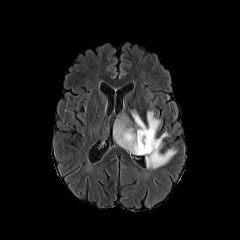
FLAIR MRI.
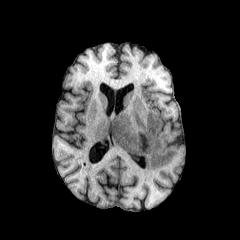
T1-weighted MR image of the same slice.
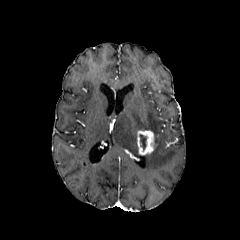
Same slice, post-contrast T1-weighted MR image.
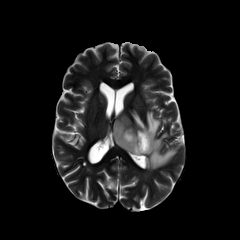
Same slice, T2-weighted magnetic resonance.
Brain, Axial slice
<segmentation>
  <necrotic_tumor_core>(x1=139, y1=134, x2=146, y2=151)</necrotic_tumor_core>
  <enhancing_tumor>(x1=137, y1=130, x2=154, y2=154)</enhancing_tumor>
  <peritumoral_edema>(x1=113, y1=110, x2=176, y2=169)</peritumoral_edema>
</segmentation>